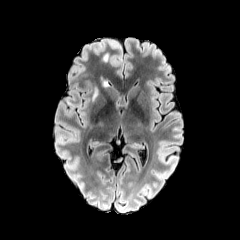
FLAIR MR image.
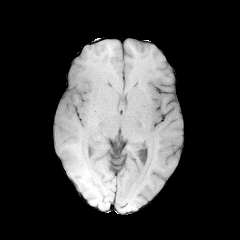
Same slice, T1-weighted MRI.
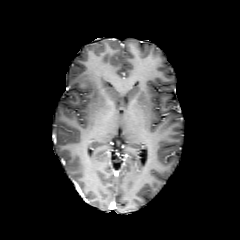
Post-contrast T1-weighted magnetic resonance.
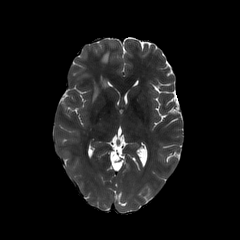
T2-weighted MR image of the same slice.
240x240 | Head
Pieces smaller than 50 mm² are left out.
<segmentation>
  <peritumoral_edema>(x1=93, y1=86, x2=98, y2=100)</peritumoral_edema>
</segmentation>